FLAIR magnetic resonance.
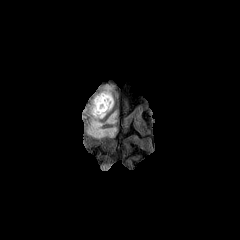
T1-weighted MR image.
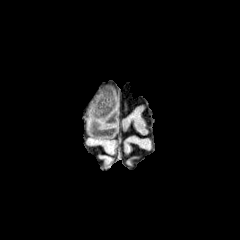
Post-contrast T1-weighted magnetic resonance.
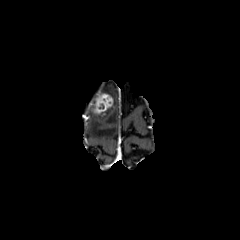
T2-weighted MR image.
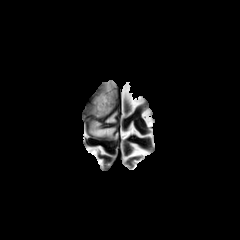
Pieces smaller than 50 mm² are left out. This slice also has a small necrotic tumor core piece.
Findings:
* enhancing tumor: 92 92 113 115
* peritumoral edema: 101 85 113 97, 87 101 117 138